240x240; Brain; Slice 57 of 155
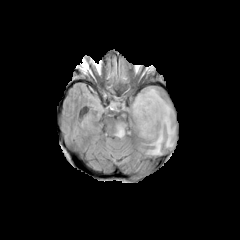
FLAIR MR.
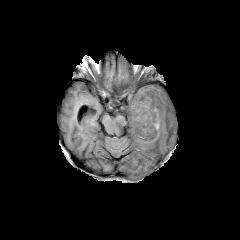
T1-weighted magnetic resonance.
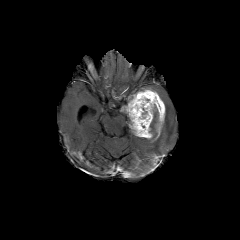
Post-contrast T1-weighted magnetic resonance.
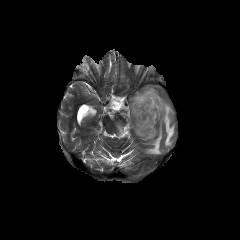
T2-weighted MRI.
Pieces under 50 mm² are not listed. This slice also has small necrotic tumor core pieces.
<segmentation>
  <peritumoral_edema>147,100,174,154; 117,122,125,136</peritumoral_edema>
  <enhancing_tumor>121,89,165,138</enhancing_tumor>
</segmentation>